240x240 px, Axial plane
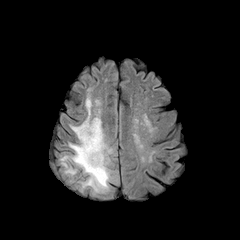
FLAIR MR image.
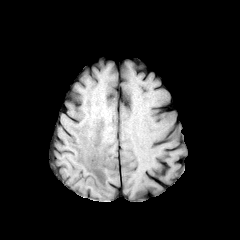
Same slice, T1-weighted magnetic resonance.
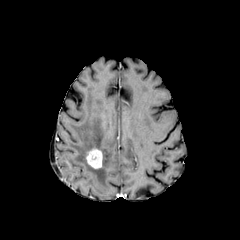
Post-contrast T1-weighted magnetic resonance.
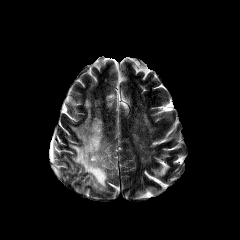
T2-weighted MR image.
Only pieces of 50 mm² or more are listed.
{
  "peritumoral_edema": [
    "[69, 94, 112, 192]"
  ],
  "enhancing_tumor": [
    "[86, 149, 102, 168]"
  ]
}